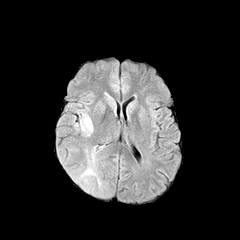
FLAIR magnetic resonance.
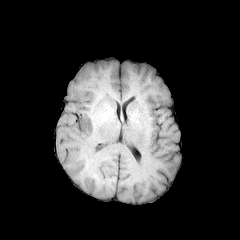
T1-weighted MRI of the same slice.
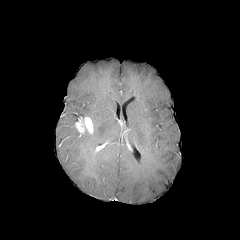
Post-contrast T1-weighted magnetic resonance.
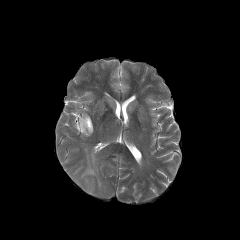
T2-weighted MR image.
Axial slice. 240x240 px.
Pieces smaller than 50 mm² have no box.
<segmentation>
  <enhancing_tumor>(x1=75, y1=117, x2=93, y2=133)</enhancing_tumor>
  <peritumoral_edema>(x1=79, y1=147, x2=101, y2=188), (x1=79, y1=110, x2=89, y2=118)</peritumoral_edema>
</segmentation>